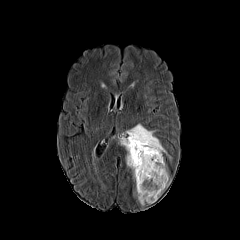
FLAIR MRI.
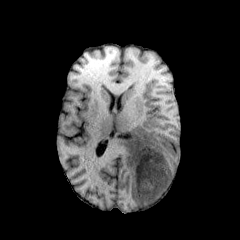
Same slice, T1-weighted MRI.
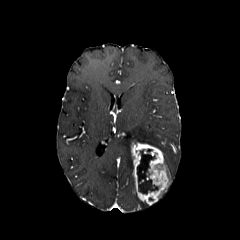
Post-contrast T1-weighted MR.
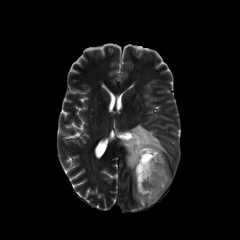
T2-weighted MRI.
Brain; Axial slice
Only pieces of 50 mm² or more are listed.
The largest enhancing tumor region lies within region(131, 141, 170, 204). The largest peritumoral edema region lies within region(120, 124, 171, 170). The largest necrotic tumor core region is bounded by region(137, 149, 158, 194).